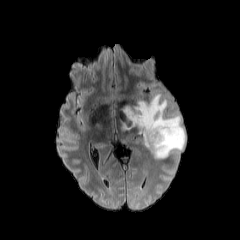
FLAIR MR.
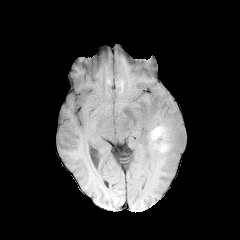
T1-weighted magnetic resonance.
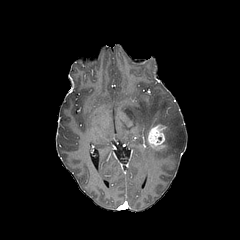
Same slice, post-contrast T1-weighted MR image.
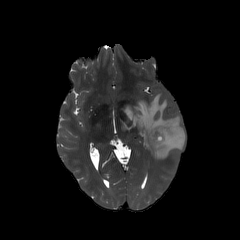
T2-weighted MR.
Axial plane
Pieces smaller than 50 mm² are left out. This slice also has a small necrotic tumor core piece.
Findings:
* enhancing tumor: box(147, 124, 165, 148)
* peritumoral edema: box(123, 93, 185, 159)